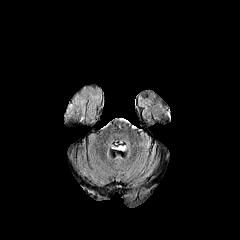
FLAIR magnetic resonance.
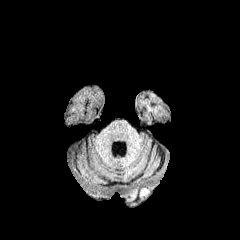
T1-weighted MR image.
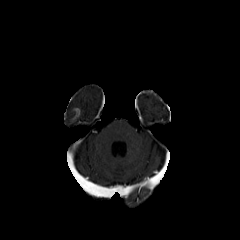
Post-contrast T1-weighted MRI.
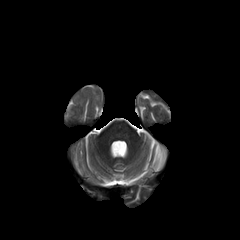
T2-weighted magnetic resonance.
Brain | Axial view
enhancing_tumor:
  - bbox(71, 109, 79, 121)